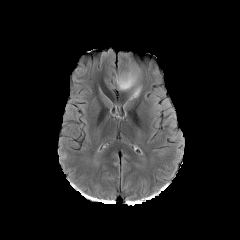
FLAIR magnetic resonance.
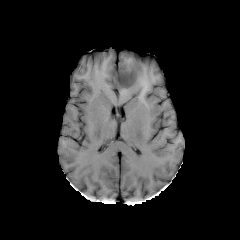
Same slice, T1-weighted MRI.
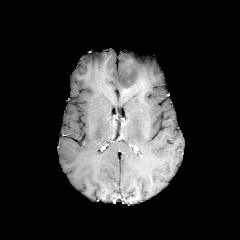
Post-contrast T1-weighted MRI.
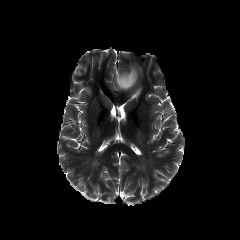
T2-weighted magnetic resonance.
The necrotic tumor core lies within box=[121, 75, 132, 84]. The peritumoral edema lies within box=[115, 65, 141, 100].